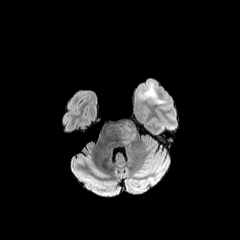
FLAIR MRI.
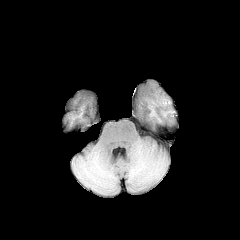
T1-weighted MRI.
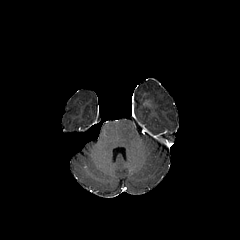
Post-contrast T1-weighted magnetic resonance of the same slice.
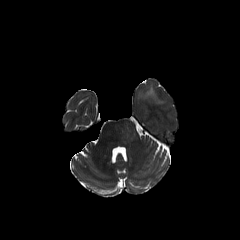
T2-weighted MR of the same slice.
240x240 | Head | Axial slice
peritumoral edema at rect(124, 121, 136, 142); rect(146, 84, 163, 103)